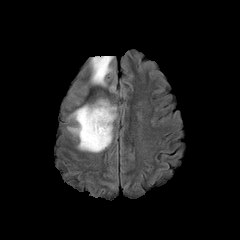
FLAIR MR.
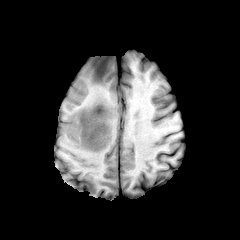
T1-weighted MR of the same slice.
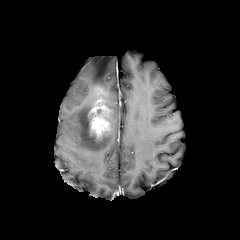
Post-contrast T1-weighted MR.
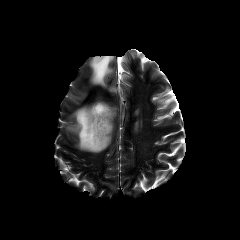
T2-weighted MR of the same slice.
Image size 240x240
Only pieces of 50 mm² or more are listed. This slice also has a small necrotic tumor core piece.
Segmented structures:
* enhancing tumor: 87:86:112:142
* peritumoral edema: 68:105:113:152, 105:101:116:121, 90:56:113:86